Image size 240x240 | Brain | Image covers 240 mm x 240 mm
FLAIR MR image.
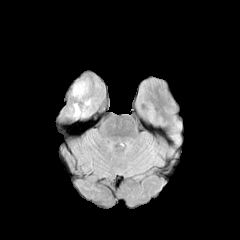
T1-weighted MR.
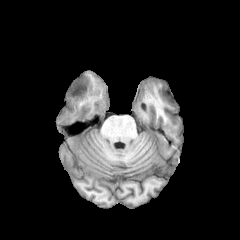
Post-contrast T1-weighted MR image.
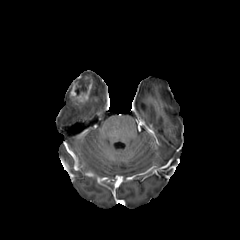
T2-weighted MR.
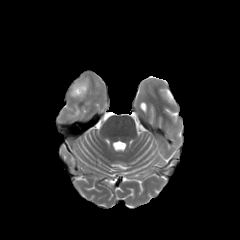
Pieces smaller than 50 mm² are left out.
peritumoral edema — <bbox>69, 106, 80, 117</bbox>
necrotic tumor core — <bbox>75, 80, 89, 95</bbox>
enhancing tumor — <bbox>70, 77, 92, 106</bbox>